FLAIR MR.
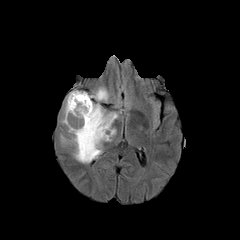
T1-weighted MR.
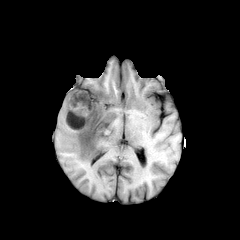
Post-contrast T1-weighted MR image.
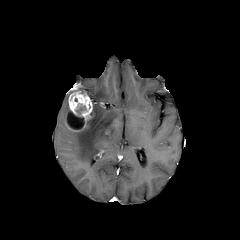
T2-weighted magnetic resonance.
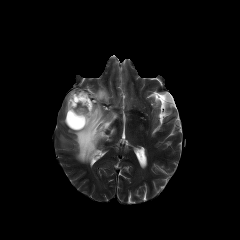
Axial slice
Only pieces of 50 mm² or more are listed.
The largest necrotic tumor core region appears at bbox=[66, 109, 84, 129]. The largest peritumoral edema region lies within bbox=[68, 87, 118, 163]. The enhancing tumor lies within bbox=[65, 89, 92, 131].